FLAIR MRI.
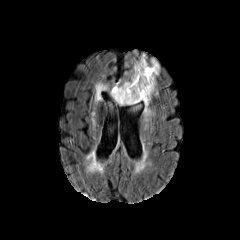
T1-weighted MR.
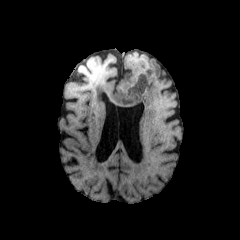
Post-contrast T1-weighted MR image.
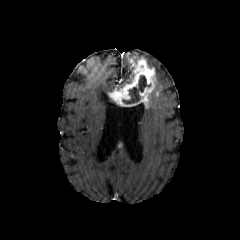
T2-weighted MR image.
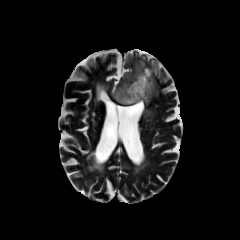
240x240 px.
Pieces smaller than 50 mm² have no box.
enhancing tumor: 109,57,156,107 | peritumoral edema: 149,58,159,76; 110,63,132,91 | necrotic tumor core: 123,76,150,103